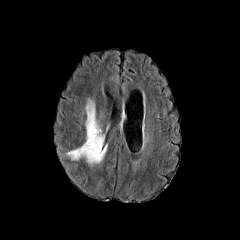
FLAIR MR.
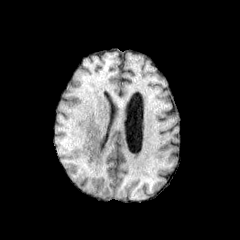
T1-weighted MR.
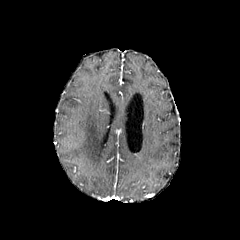
Post-contrast T1-weighted MR.
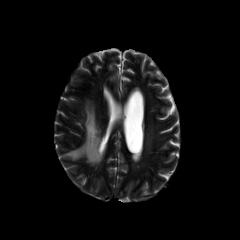
Same slice, T2-weighted magnetic resonance.
Brain
peritumoral edema: 67:100:106:164